FLAIR magnetic resonance.
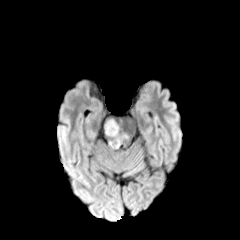
T1-weighted MRI.
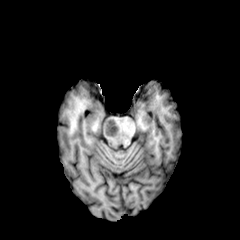
Post-contrast T1-weighted MR image.
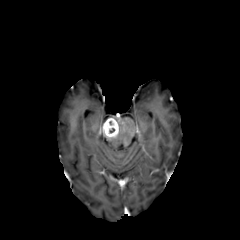
T2-weighted MR image.
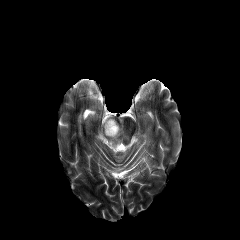
Axial plane
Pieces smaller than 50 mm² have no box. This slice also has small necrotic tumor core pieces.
Findings:
* enhancing tumor: <box>102,118,118,138</box>
* peritumoral edema: <box>109,127,120,147</box>